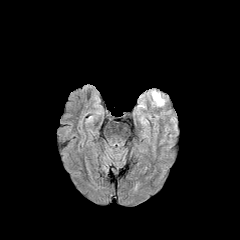
FLAIR MRI.
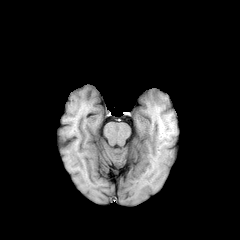
T1-weighted MR image.
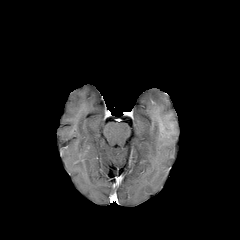
Post-contrast T1-weighted MR image of the same slice.
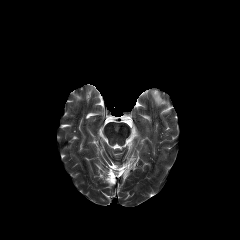
T2-weighted MR.
240x240 px
peritumoral edema = <box>151,90,164,105</box>